FLAIR MR image.
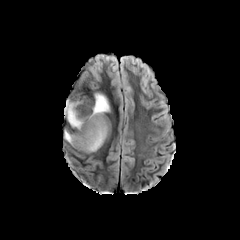
T1-weighted magnetic resonance.
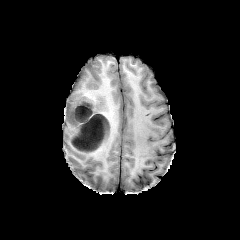
Post-contrast T1-weighted magnetic resonance.
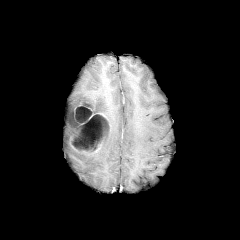
T2-weighted MR image.
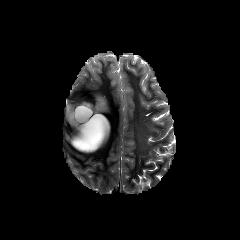
Brain.
{"peritumoral_edema": ["box=[64, 130, 72, 143]", "box=[65, 100, 82, 128]", "box=[90, 93, 109, 116]"], "necrotic_tumor_core": ["box=[72, 114, 106, 150]", "box=[75, 107, 92, 122]"], "enhancing_tumor": ["box=[71, 104, 109, 152]"]}